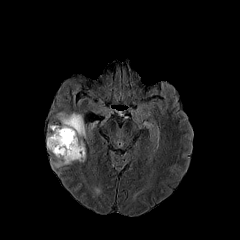
FLAIR MR image.
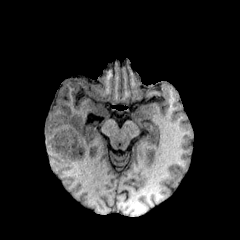
T1-weighted MRI.
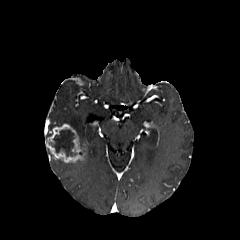
Post-contrast T1-weighted MR image.
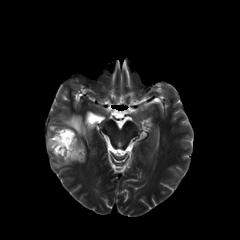
T2-weighted MR image.
Axial view. 240x240 px. Brain.
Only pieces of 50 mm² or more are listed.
The largest necrotic tumor core region appears at 49, 130, 76, 156. The enhancing tumor appears at 46, 124, 86, 163. The 2 largest peritumoral edema regions are bounded by 51, 159, 71, 168; 55, 112, 85, 142.